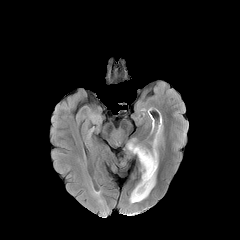
FLAIR MRI.
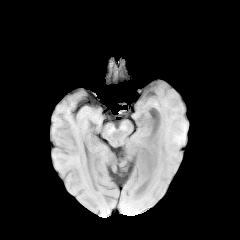
Same slice, T1-weighted MR image.
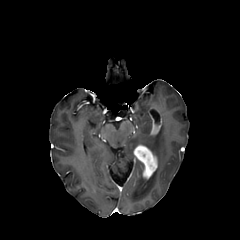
Post-contrast T1-weighted MRI.
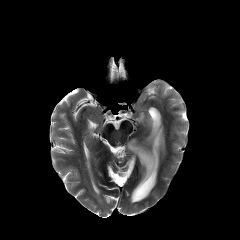
T2-weighted MR.
Axial slice.
<segmentation>
  <peritumoral_edema>[130, 162, 157, 203], [151, 122, 162, 165], [127, 139, 141, 153]</peritumoral_edema>
  <enhancing_tumor>[133, 145, 157, 179]</enhancing_tumor>
</segmentation>